FLAIR magnetic resonance.
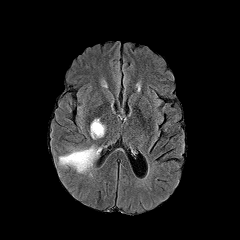
T1-weighted MR.
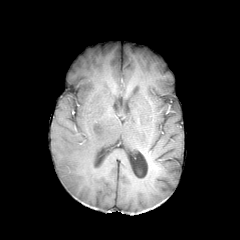
Post-contrast T1-weighted MRI.
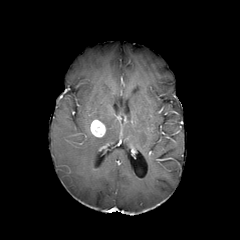
T2-weighted MRI.
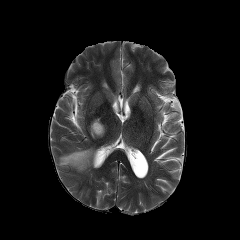
Axial slice
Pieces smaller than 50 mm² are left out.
peritumoral edema at [59,146,99,173]
enhancing tumor at [90,120,105,137]